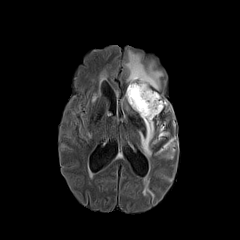
FLAIR MR.
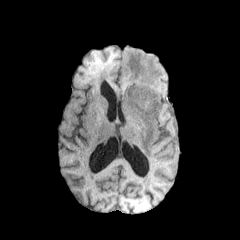
T1-weighted MRI.
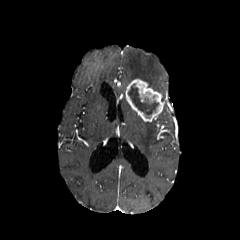
Post-contrast T1-weighted MRI.
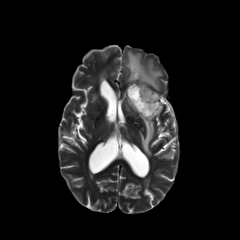
T2-weighted MRI of the same slice.
Head | 240x240 px | Axial slice
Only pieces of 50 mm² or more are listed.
Findings:
• enhancing tumor: [125,79,166,121]
• peritumoral edema: [124,50,162,90], [140,120,154,158], [165,150,174,158]
• necrotic tumor core: [128,83,158,115]